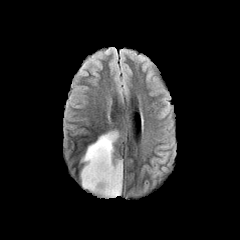
FLAIR magnetic resonance.
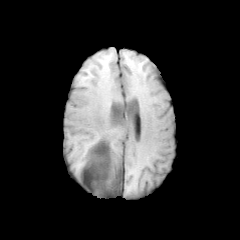
Same slice, T1-weighted magnetic resonance.
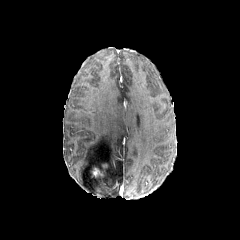
Post-contrast T1-weighted MR image.
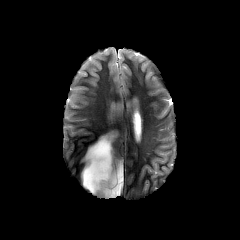
T2-weighted MRI.
Brain
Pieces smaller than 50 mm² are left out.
peritumoral_edema:
  - [81,131,122,197]
enhancing_tumor:
  - [92,168,103,176]